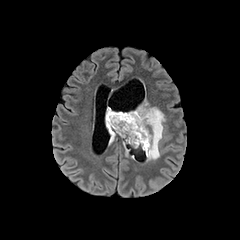
FLAIR MR.
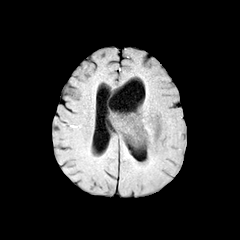
Same slice, T1-weighted magnetic resonance.
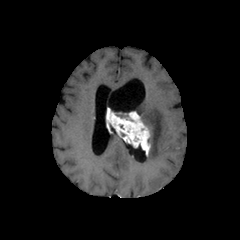
Same slice, post-contrast T1-weighted MR.
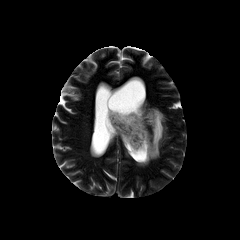
T2-weighted MR image.
Image size 240x240. Axial slice.
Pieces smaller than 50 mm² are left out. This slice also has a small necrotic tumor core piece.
The 2 largest peritumoral edema regions appear at box(135, 99, 165, 161); box(109, 133, 117, 145). The enhancing tumor is at box(106, 107, 150, 156).